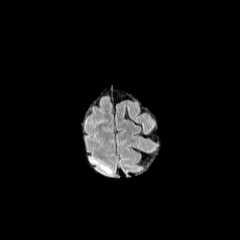
FLAIR MR image.
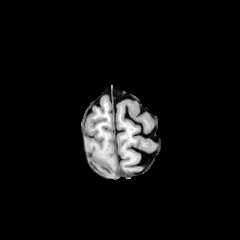
T1-weighted magnetic resonance of the same slice.
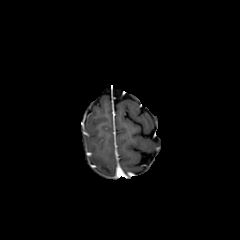
Post-contrast T1-weighted magnetic resonance of the same slice.
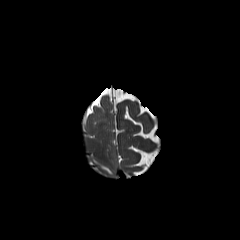
T2-weighted MR image.
The peritumoral edema is located at (left=92, top=159, right=111, bottom=173).